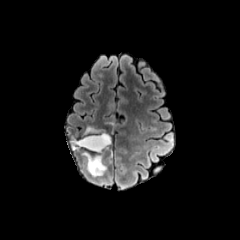
FLAIR MR.
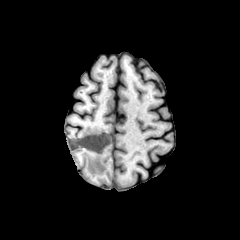
Same slice, T1-weighted MR.
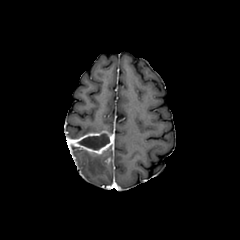
Same slice, post-contrast T1-weighted MR image.
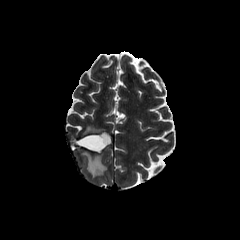
T2-weighted MR image of the same slice.
Axial plane
{
  "enhancing_tumor": [
    "[x1=72, y1=131, x2=112, y2=154]"
  ],
  "peritumoral_edema": [
    "[x1=84, y1=126, x2=100, y2=134]",
    "[x1=82, y1=152, x2=106, y2=175]"
  ],
  "necrotic_tumor_core": [
    "[x1=79, y1=134, x2=109, y2=149]"
  ]
}